FLAIR MRI.
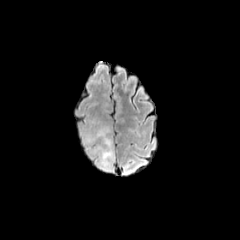
T1-weighted MR.
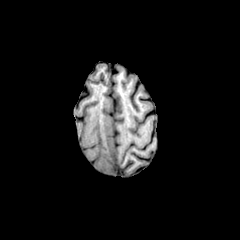
Post-contrast T1-weighted magnetic resonance.
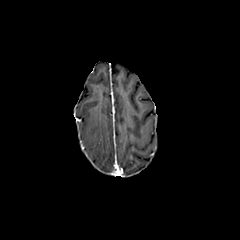
T2-weighted MR image.
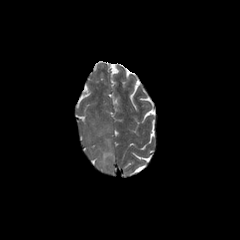
Head
peritumoral edema: left=87, top=126, right=114, bottom=170